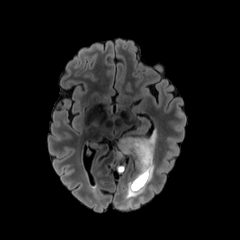
FLAIR MR.
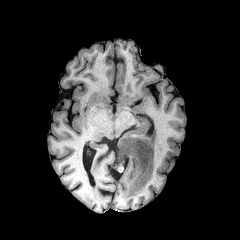
T1-weighted MR.
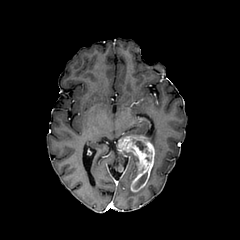
Post-contrast T1-weighted MR image of the same slice.
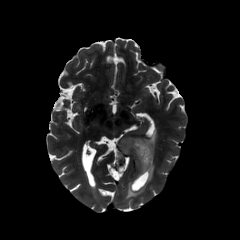
T2-weighted MRI.
240x240 px
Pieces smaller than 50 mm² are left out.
The 2 largest necrotic tumor core regions appear at <box>135,141,146,150</box>, <box>134,173,147,188</box>. The largest enhancing tumor region is located at <box>117,136,154,192</box>. The 3 largest peritumoral edema regions appear at <box>125,182,145,198</box>, <box>147,161,154,183</box>, <box>147,131,156,147</box>.